Axial plane. Brain. Image size 240x240.
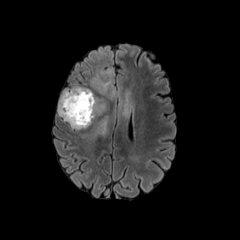
FLAIR MRI.
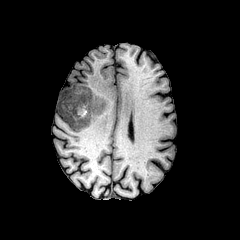
T1-weighted MR image.
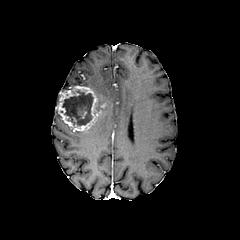
Post-contrast T1-weighted MR image of the same slice.
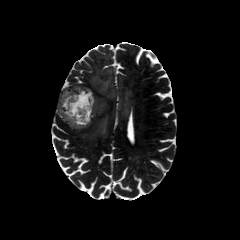
Same slice, T2-weighted MRI.
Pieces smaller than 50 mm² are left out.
• enhancing tumor: [57, 85, 106, 131]
• necrotic tumor core: [62, 90, 93, 125]
• peritumoral edema: [90, 52, 133, 117], [95, 116, 108, 135]